FLAIR magnetic resonance.
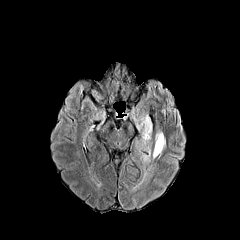
T1-weighted MRI.
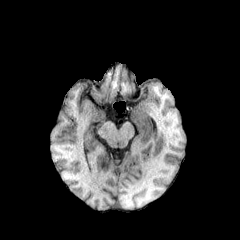
Post-contrast T1-weighted MR.
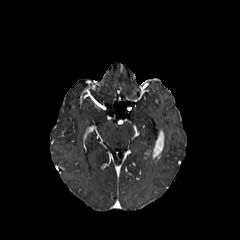
T2-weighted magnetic resonance.
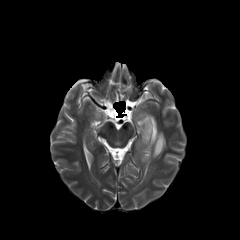
Image size 240x240
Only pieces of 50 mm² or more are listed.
<segmentation>
  <peritumoral_edema>bbox(135, 114, 151, 162)</peritumoral_edema>
  <enhancing_tumor>bbox(153, 130, 163, 158)</enhancing_tumor>
</segmentation>